FLAIR MR image.
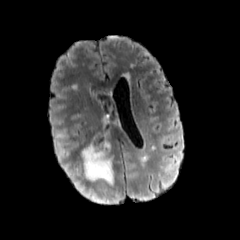
T1-weighted magnetic resonance.
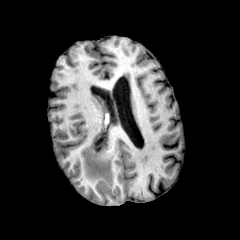
Post-contrast T1-weighted magnetic resonance.
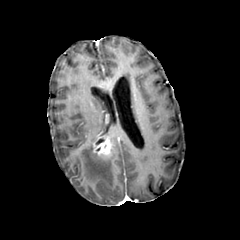
T2-weighted MR.
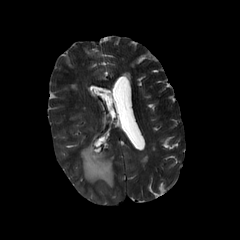
Head
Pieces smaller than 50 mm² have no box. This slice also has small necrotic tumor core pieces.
The largest peritumoral edema region appears at rect(81, 144, 113, 185). The enhancing tumor is located at rect(93, 135, 111, 155).